Axial slice. Head. Slice 85/155. Image width 240 mm.
FLAIR MR image.
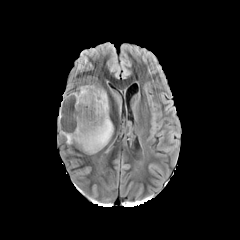
T1-weighted MRI.
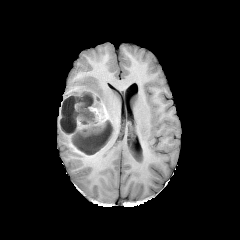
Post-contrast T1-weighted MRI.
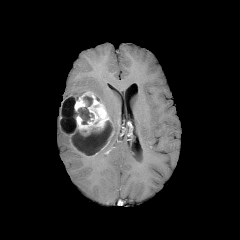
T2-weighted MRI.
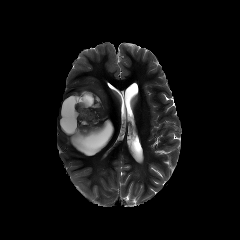
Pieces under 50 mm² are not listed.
Findings:
• necrotic tumor core: x1=73, y1=121, x2=112, y2=153; x1=78, y1=96, x2=93, y2=124; x1=60, y1=118, x2=76, y2=133; x1=61, y1=95, x2=78, y2=116
• enhancing tumor: x1=58, y1=91, x2=113, y2=155
• peritumoral edema: x1=78, y1=86, x2=108, y2=113